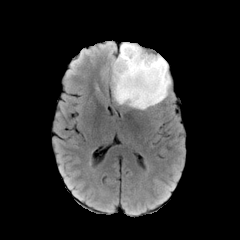
FLAIR MR image.
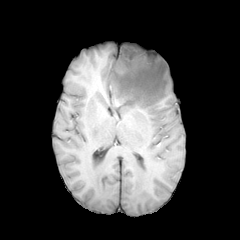
Same slice, T1-weighted MR.
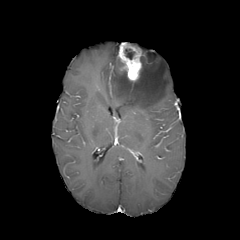
Post-contrast T1-weighted magnetic resonance of the same slice.
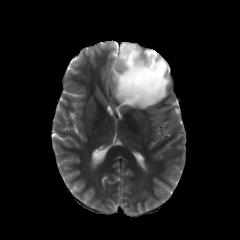
T2-weighted MRI of the same slice.
Brain
peritumoral_edema:
  - [112,50,170,109]
enhancing_tumor:
  - [118,42,143,81]
necrotic_tumor_core:
  - [125,49,134,59]